FLAIR MRI.
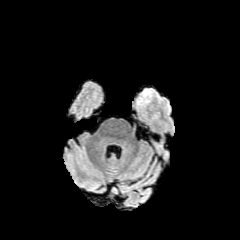
T1-weighted MR image.
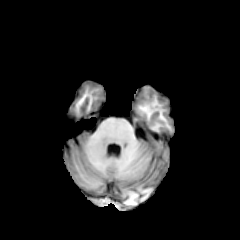
Post-contrast T1-weighted MR image.
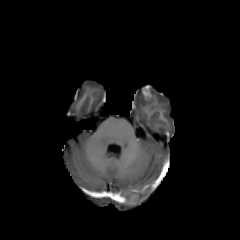
T2-weighted MRI.
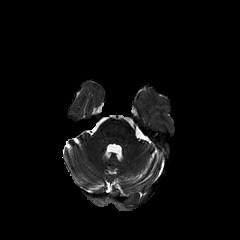
{
  "enhancing_tumor": [
    "bbox=[142, 87, 151, 100]"
  ]
}